FLAIR MR.
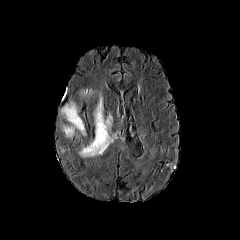
T1-weighted magnetic resonance.
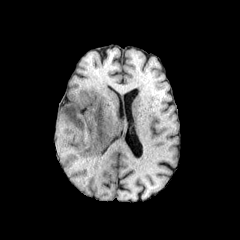
Post-contrast T1-weighted MR image.
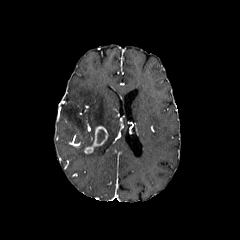
T2-weighted magnetic resonance.
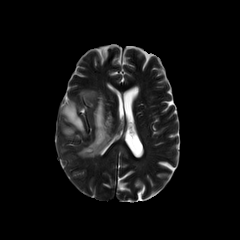
Head. Axial slice.
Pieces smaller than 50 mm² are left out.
The enhancing tumor lies within [x1=84, y1=126, x2=108, y2=153]. The necrotic tumor core is located at [x1=97, y1=130, x2=106, y2=142]. The 3 largest peritumoral edema regions are bounded by [x1=78, y1=93, x2=115, y2=157], [x1=80, y1=89, x2=94, y2=97], [x1=61, y1=102, x2=85, y2=137].